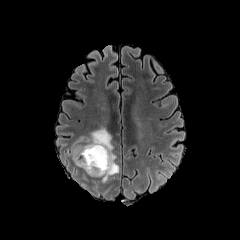
FLAIR MRI.
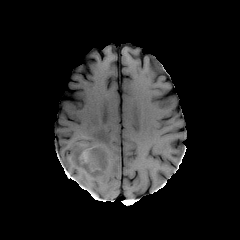
Same slice, T1-weighted magnetic resonance.
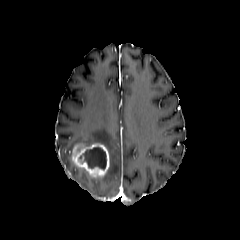
Same slice, post-contrast T1-weighted MR.
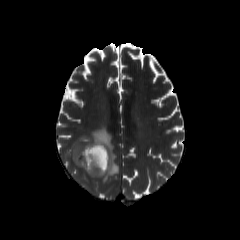
Same slice, T2-weighted MRI.
Brain
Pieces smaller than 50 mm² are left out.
<segmentation>
  <necrotic_tumor_core>(x1=83, y1=147, x2=106, y2=169)</necrotic_tumor_core>
  <enhancing_tumor>(x1=72, y1=143, x2=109, y2=177)</enhancing_tumor>
  <peritumoral_edema>(x1=67, y1=128, x2=119, y2=182)</peritumoral_edema>
</segmentation>